FLAIR magnetic resonance.
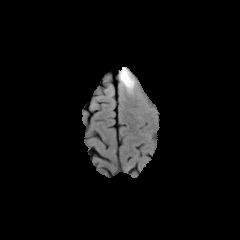
T1-weighted MR.
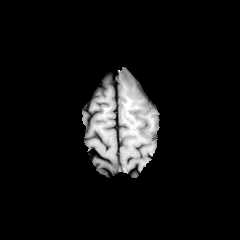
Post-contrast T1-weighted MR.
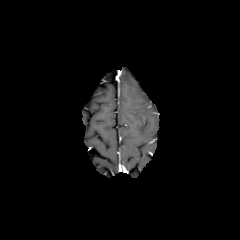
T2-weighted MR image.
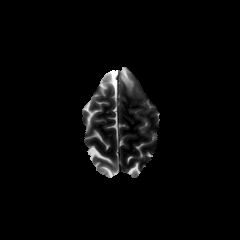
Head
<segmentation>
  <peritumoral_edema>(x1=120, y1=67, x2=134, y2=92)</peritumoral_edema>
</segmentation>